Brain
FLAIR MR.
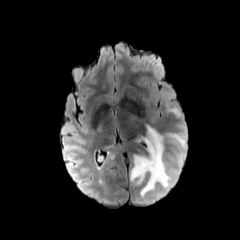
T1-weighted magnetic resonance.
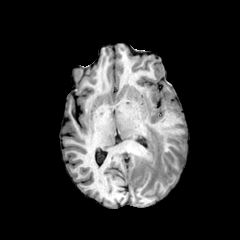
Post-contrast T1-weighted MR.
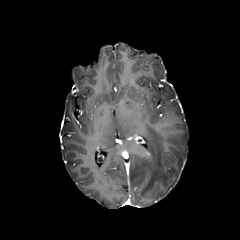
T2-weighted MRI.
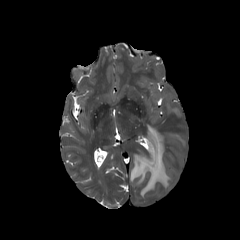
The peritumoral edema appears at (left=130, top=125, right=170, bottom=196).